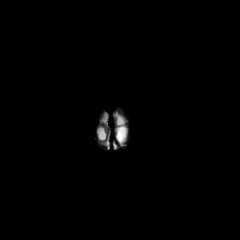
FLAIR MR.
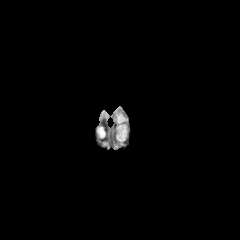
T1-weighted magnetic resonance.
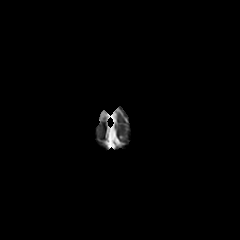
Post-contrast T1-weighted MRI.
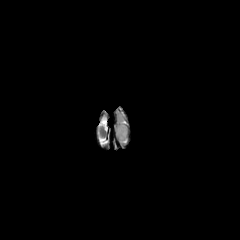
T2-weighted MR image.
Brain.
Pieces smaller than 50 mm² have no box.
Segmented structures:
* peritumoral edema: 117, 127, 124, 137